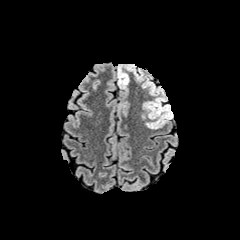
FLAIR MR.
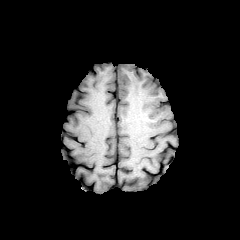
Same slice, T1-weighted MRI.
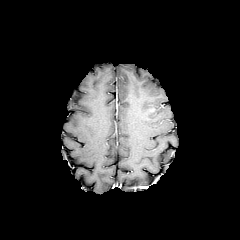
Same slice, post-contrast T1-weighted MR image.
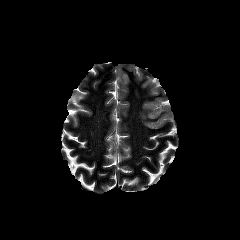
T2-weighted magnetic resonance of the same slice.
Axial slice; 240x240
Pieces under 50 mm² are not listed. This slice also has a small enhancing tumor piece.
peritumoral edema at [141, 78, 173, 129], [117, 64, 129, 89], [127, 64, 143, 81]